FLAIR MR image.
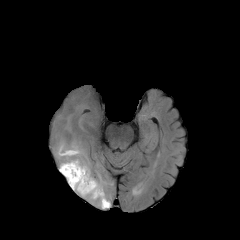
T1-weighted MR.
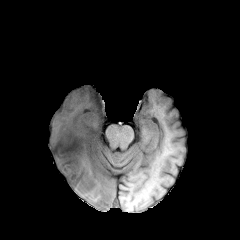
Post-contrast T1-weighted magnetic resonance.
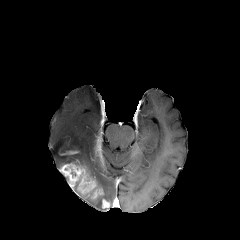
T2-weighted MRI.
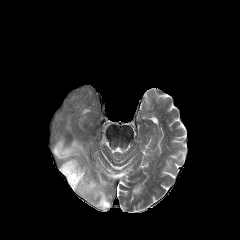
240x240; Axial view
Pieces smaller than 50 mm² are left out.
{"necrotic_tumor_core": ["[x1=61, y1=146, x2=74, y2=153]"], "peritumoral_edema": ["[x1=52, y1=116, x2=112, y2=209]"], "enhancing_tumor": ["[x1=59, y1=159, x2=103, y2=199]", "[x1=102, y1=199, x2=109, y2=208]", "[x1=59, y1=142, x2=78, y2=155]"]}